Brain, Image covers 240 mm x 240 mm
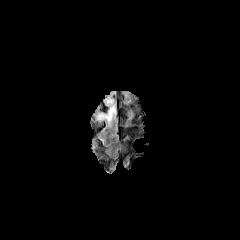
FLAIR magnetic resonance.
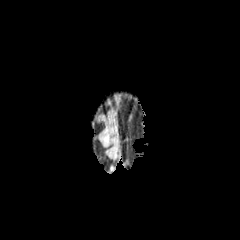
T1-weighted magnetic resonance of the same slice.
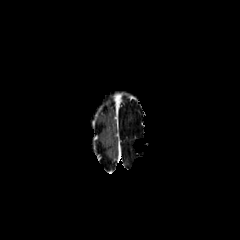
Post-contrast T1-weighted magnetic resonance.
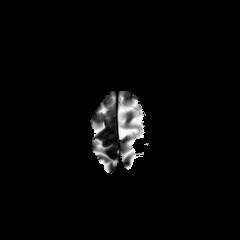
T2-weighted MR image.
The peritumoral edema appears at (97, 107, 115, 121).